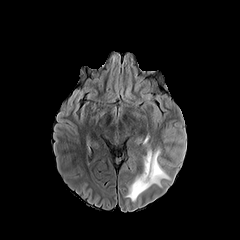
FLAIR MRI.
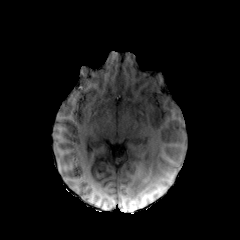
T1-weighted MR image.
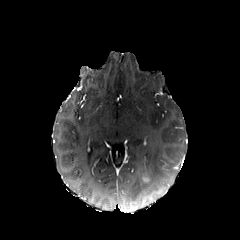
Post-contrast T1-weighted MR image.
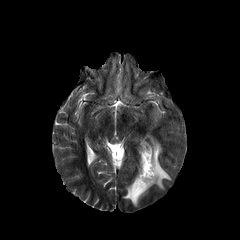
T2-weighted magnetic resonance of the same slice.
Axial view. Head.
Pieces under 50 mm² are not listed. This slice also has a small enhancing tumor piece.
Annotated regions:
* peritumoral edema: (123,144,172,202)